FLAIR MRI.
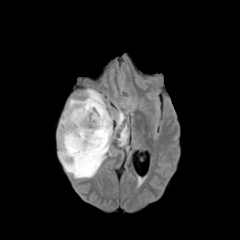
T1-weighted magnetic resonance.
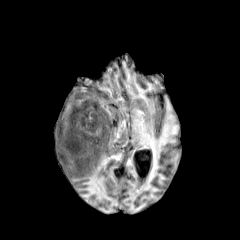
Post-contrast T1-weighted MR.
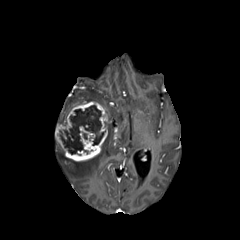
T2-weighted MRI.
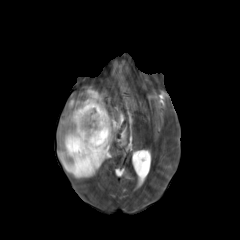
Axial slice.
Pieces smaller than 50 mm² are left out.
enhancing tumor: [x1=55, y1=101, x2=110, y2=161] | peritumoral edema: [x1=83, y1=89, x2=106, y2=107], [x1=119, y1=126, x2=127, y2=145], [x1=117, y1=111, x2=124, y2=126], [x1=60, y1=98, x2=82, y2=123], [x1=58, y1=123, x2=112, y2=178] | necrotic tumor core: [x1=60, y1=105, x2=104, y2=154]